FLAIR magnetic resonance.
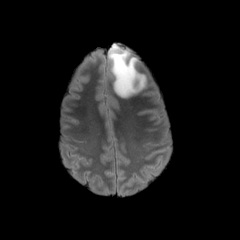
T1-weighted MR image.
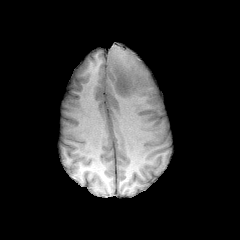
Post-contrast T1-weighted MR.
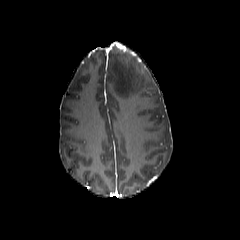
T2-weighted MR.
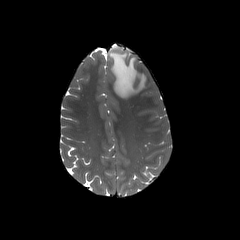
Image size 240x240; Head
peritumoral edema: l=108, t=45, r=146, b=97